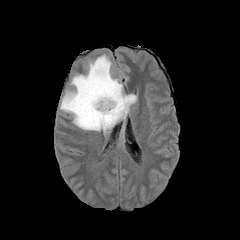
FLAIR MR image.
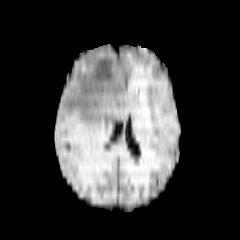
Same slice, T1-weighted MRI.
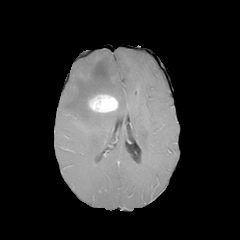
Post-contrast T1-weighted MRI.
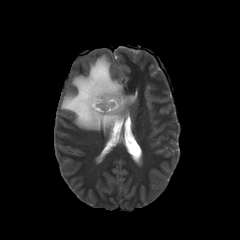
T2-weighted MR image.
Brain
enhancing tumor: l=87, t=93, r=118, b=113
peritumoral edema: l=60, t=54, r=136, b=134